FLAIR magnetic resonance.
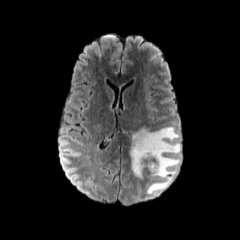
T1-weighted MRI.
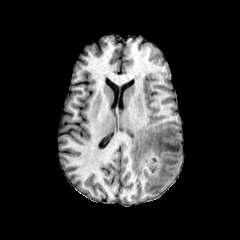
Post-contrast T1-weighted MRI.
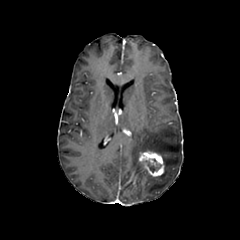
T2-weighted MR.
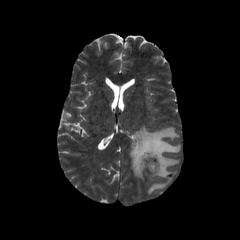
Axial view.
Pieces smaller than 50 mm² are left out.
The largest peritumoral edema region is located at x1=128 y1=126 x2=180 y2=195. The largest necrotic tumor core region is at x1=146 y1=161 x2=159 y2=172. The enhancing tumor is located at x1=137 y1=149 x2=165 y2=177.